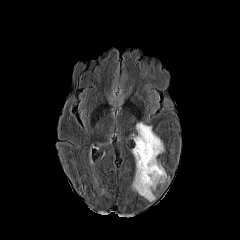
FLAIR magnetic resonance.
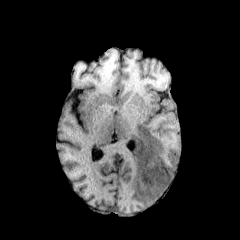
T1-weighted MRI of the same slice.
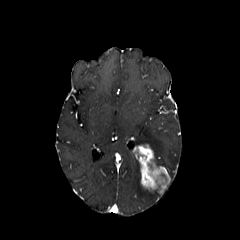
Same slice, post-contrast T1-weighted MRI.
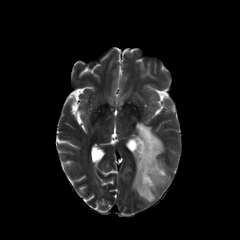
Same slice, T2-weighted MR image.
Head.
• peritumoral edema: bbox(135, 122, 164, 165); bbox(132, 159, 155, 201)
• enhancing tumor: bbox(133, 144, 170, 191)